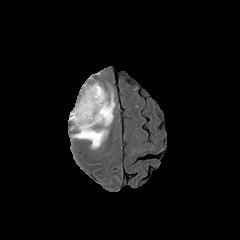
FLAIR magnetic resonance.
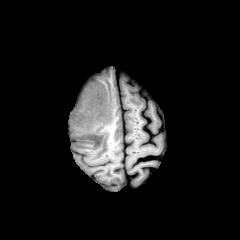
T1-weighted MR image of the same slice.
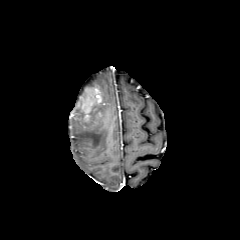
Post-contrast T1-weighted MRI.
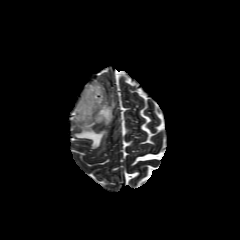
T2-weighted MR image of the same slice.
Brain | Image size 240x240
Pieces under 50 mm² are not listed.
Findings:
* peritumoral edema: {"x1": 70, "y1": 84, "x2": 115, "y2": 148}
* enhancing tumor: {"x1": 96, "y1": 110, "x2": 109, "y2": 122}, {"x1": 70, "y1": 85, "x2": 102, "y2": 121}